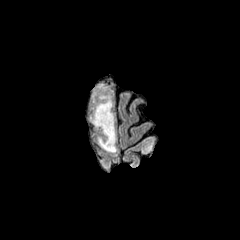
FLAIR MR.
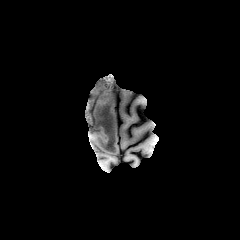
T1-weighted MRI of the same slice.
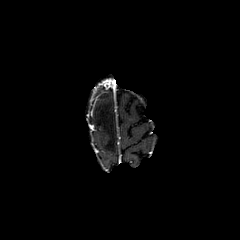
Same slice, post-contrast T1-weighted MR image.
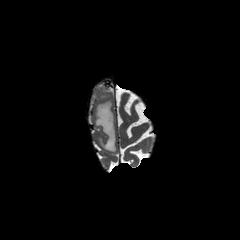
T2-weighted magnetic resonance of the same slice.
Axial plane, Brain, 240x240
Segmented structures:
* enhancing tumor: bbox=[96, 79, 111, 88]
* peritumoral edema: bbox=[93, 87, 116, 152]